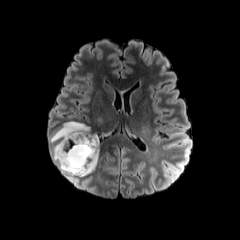
FLAIR MRI.
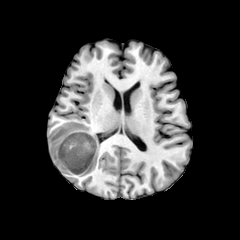
T1-weighted MR of the same slice.
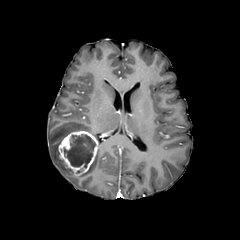
Post-contrast T1-weighted magnetic resonance.
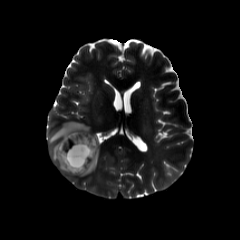
T2-weighted MR image.
Brain
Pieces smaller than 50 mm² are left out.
The necrotic tumor core is located at 64:134:95:167. The enhancing tumor is located at 58:131:98:175. The 2 largest peritumoral edema regions are bounded by 79:143:99:176, 49:121:90:176.